Brain. Slice 127 of 155.
FLAIR MR image.
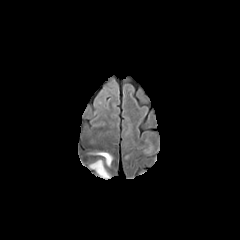
T1-weighted MRI.
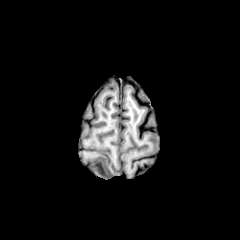
Post-contrast T1-weighted MR image.
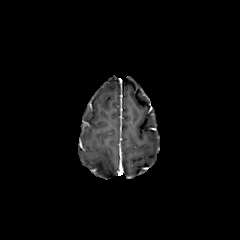
T2-weighted MRI.
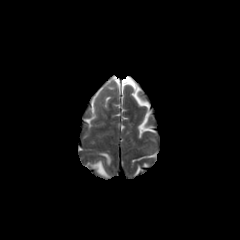
<segmentation>
  <peritumoral_edema>91, 160, 110, 177; 97, 152, 111, 165</peritumoral_edema>
</segmentation>